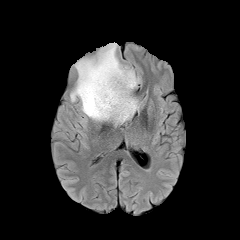
FLAIR MR.
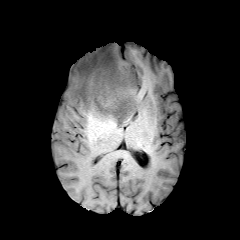
T1-weighted MR of the same slice.
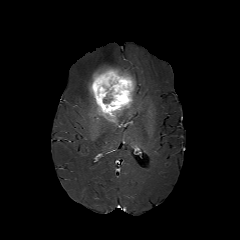
Post-contrast T1-weighted MRI of the same slice.
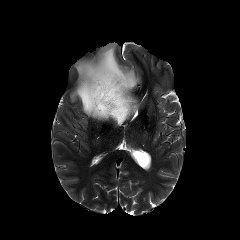
Same slice, T2-weighted MRI.
Brain.
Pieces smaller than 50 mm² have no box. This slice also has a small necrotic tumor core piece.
2 peritumoral edema regions are bounded by 114, 96, 140, 124; 70, 43, 139, 121. The enhancing tumor appears at 89, 66, 135, 123.